FLAIR MR.
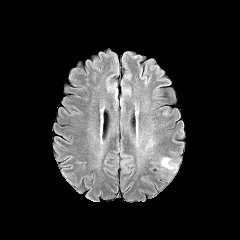
T1-weighted magnetic resonance.
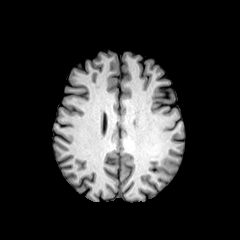
Post-contrast T1-weighted magnetic resonance.
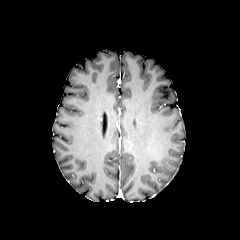
T2-weighted MR image.
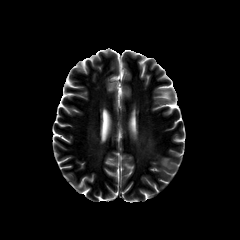
Axial plane
• peritumoral edema: 160:157:178:173